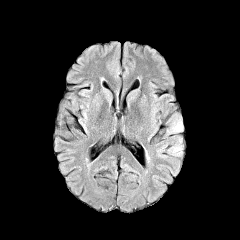
FLAIR MR.
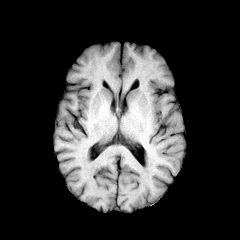
T1-weighted MR image.
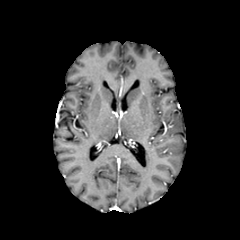
Post-contrast T1-weighted MRI of the same slice.
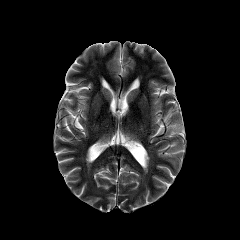
T2-weighted magnetic resonance.
Axial view | Brain
The peritumoral edema is bounded by bbox=[155, 110, 185, 172].